FLAIR MRI.
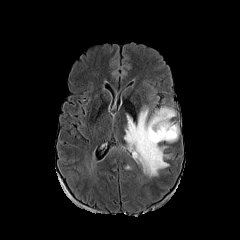
T1-weighted MR image.
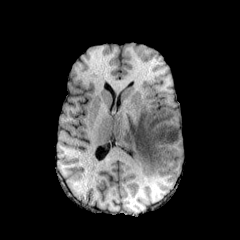
Post-contrast T1-weighted MR.
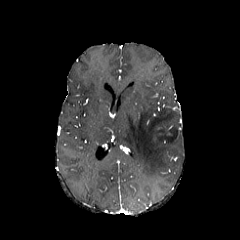
T2-weighted MRI.
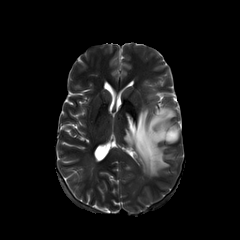
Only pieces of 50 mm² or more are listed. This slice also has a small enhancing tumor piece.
- peritumoral edema: x1=124, y1=107, x2=179, y2=177